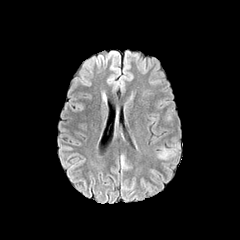
FLAIR MR image.
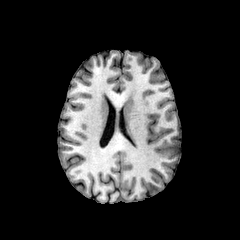
Same slice, T1-weighted MRI.
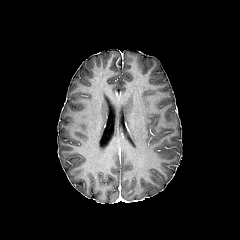
Post-contrast T1-weighted magnetic resonance.
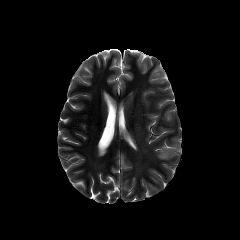
Same slice, T2-weighted magnetic resonance.
Axial view, Head
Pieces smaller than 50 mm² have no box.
Findings:
• peritumoral edema: (x1=158, y1=148, x2=173, y2=159)